FLAIR MRI.
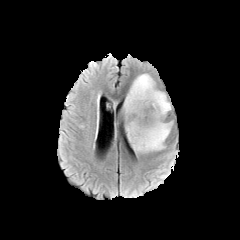
T1-weighted MR image.
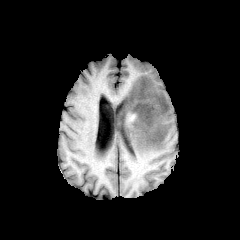
Post-contrast T1-weighted magnetic resonance.
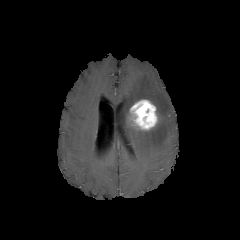
T2-weighted MRI.
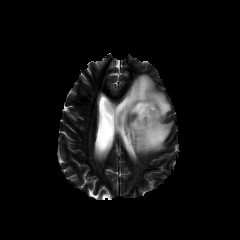
Axial slice
peritumoral_edema:
  - 121:73:173:153
enhancing_tumor:
  - 129:99:159:130